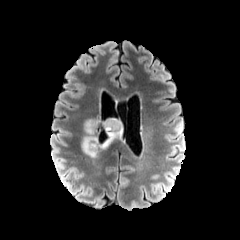
FLAIR MR image.
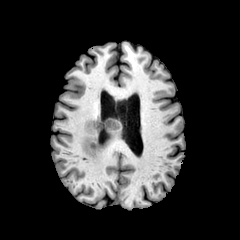
Same slice, T1-weighted MR image.
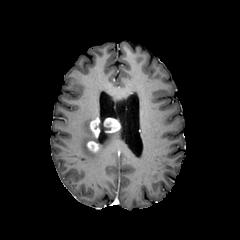
Post-contrast T1-weighted magnetic resonance of the same slice.
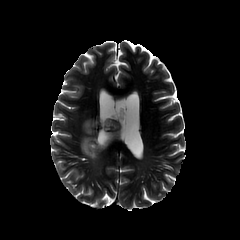
T2-weighted MR image.
Brain. Axial slice. Image size 240x240.
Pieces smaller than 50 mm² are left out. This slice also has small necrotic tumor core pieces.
2 peritumoral edema regions appear at box=[81, 120, 98, 158]; box=[100, 128, 121, 150]. 3 enhancing tumor regions are located at box=[87, 141, 101, 152]; box=[104, 118, 120, 132]; box=[90, 117, 99, 137].